Brain; 240x240 px
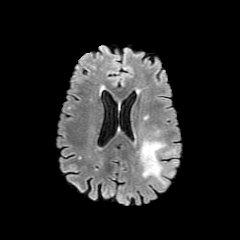
FLAIR MRI.
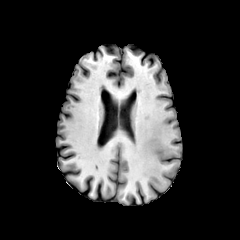
Same slice, T1-weighted magnetic resonance.
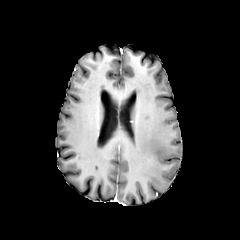
Same slice, post-contrast T1-weighted MRI.
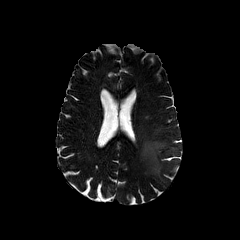
Same slice, T2-weighted MR image.
The peritumoral edema lies within (140,141,164,180).